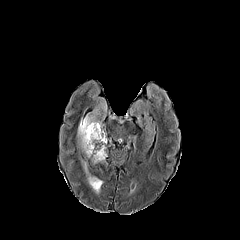
FLAIR MR image.
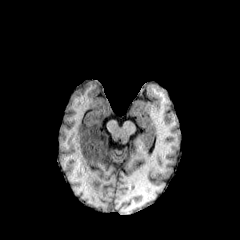
Same slice, T1-weighted magnetic resonance.
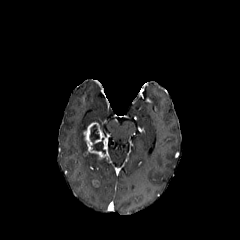
Post-contrast T1-weighted magnetic resonance of the same slice.
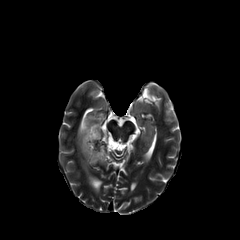
T2-weighted magnetic resonance.
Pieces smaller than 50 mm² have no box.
enhancing tumor: 83,122,107,159 | necrotic tumor core: 92,138,105,153; 90,125,99,142 | peritumoral edema: 87,153,104,163; 82,160,102,193; 77,109,106,153